FLAIR magnetic resonance.
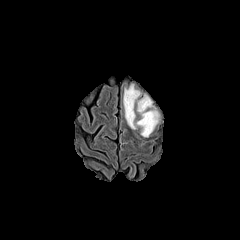
T1-weighted MRI.
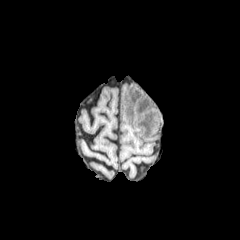
Post-contrast T1-weighted MRI.
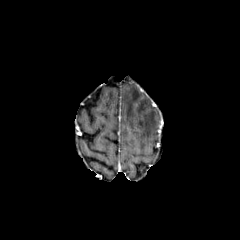
T2-weighted MR image.
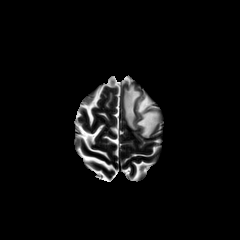
Head.
The peritumoral edema is at (x1=123, y1=84, x2=159, y2=137).